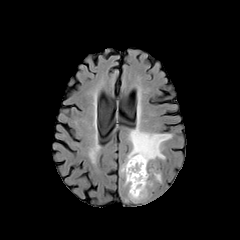
FLAIR MR image.
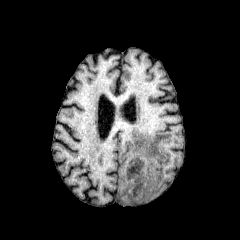
Same slice, T1-weighted MR.
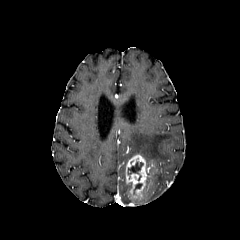
Same slice, post-contrast T1-weighted MR.
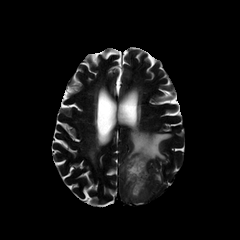
T2-weighted magnetic resonance of the same slice.
Head. Axial plane.
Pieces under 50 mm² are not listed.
<segmentation>
  <peritumoral_edema>box=[120, 126, 171, 173]; box=[153, 173, 161, 181]</peritumoral_edema>
  <enhancing_tumor>box=[125, 154, 152, 201]</enhancing_tumor>
  <necrotic_tumor_core>box=[128, 162, 143, 174]</necrotic_tumor_core>
</segmentation>